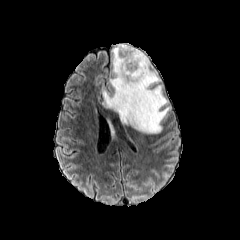
FLAIR MRI.
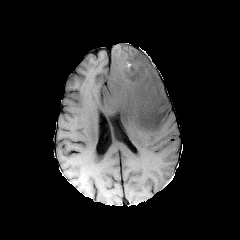
T1-weighted magnetic resonance.
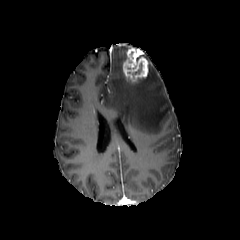
Same slice, post-contrast T1-weighted MR image.
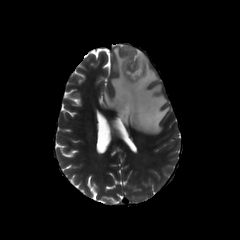
T2-weighted MRI.
Axial view.
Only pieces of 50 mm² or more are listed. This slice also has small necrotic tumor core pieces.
enhancing tumor: 122,46,148,82 | peritumoral edema: 103,43,170,133